FLAIR MR.
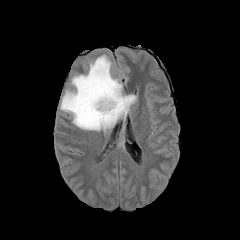
T1-weighted MR image.
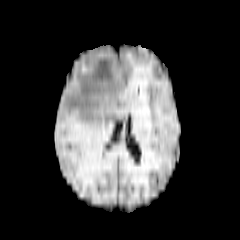
Post-contrast T1-weighted MR.
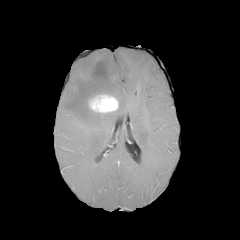
T2-weighted MR.
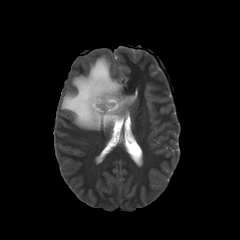
Head. Image size 240x240. Axial plane.
{"peritumoral_edema": ["<bbox>60, 55, 136, 136</bbox>"], "enhancing_tumor": ["<bbox>88, 94, 118, 113</bbox>"]}